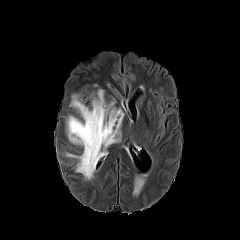
FLAIR MR image.
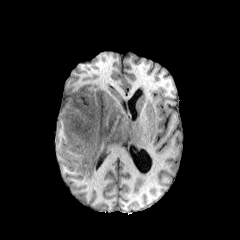
T1-weighted MR image.
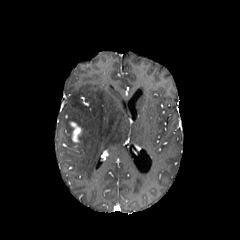
Post-contrast T1-weighted MR image.
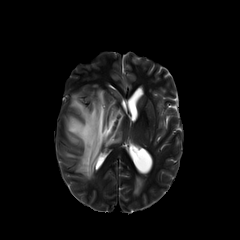
T2-weighted MR image.
Axial view, Brain
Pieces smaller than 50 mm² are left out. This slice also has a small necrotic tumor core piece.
The 2 largest peritumoral edema regions appear at 66:88:124:179, 132:173:148:196. The enhancing tumor is located at 70:122:81:142.